FLAIR MR.
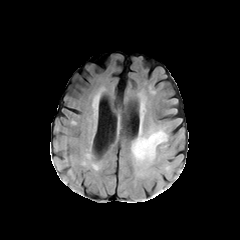
T1-weighted MR image.
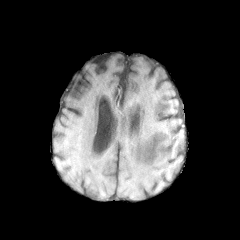
Post-contrast T1-weighted MRI.
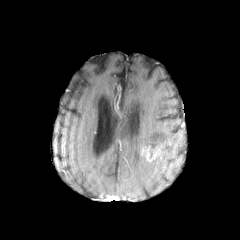
T2-weighted magnetic resonance.
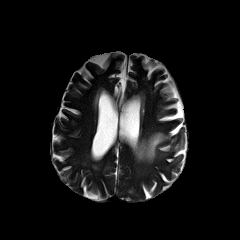
Image size 240x240
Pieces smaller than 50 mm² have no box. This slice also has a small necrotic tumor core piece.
enhancing tumor: bbox=[140, 145, 161, 161]
peritumoral edema: bbox=[131, 129, 168, 165]